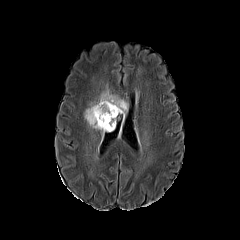
FLAIR magnetic resonance.
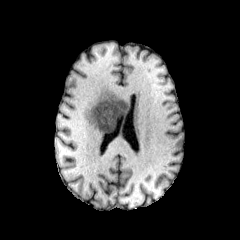
T1-weighted MR.
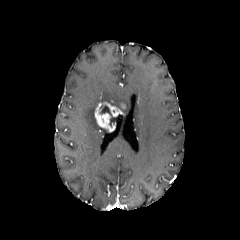
Post-contrast T1-weighted MR image.
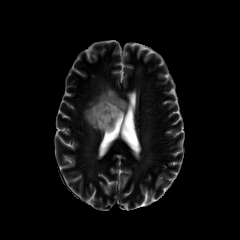
T2-weighted MR.
Head, Axial slice
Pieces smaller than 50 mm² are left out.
peritumoral_edema:
  - <box>84,88,128,134</box>
necrotic_tumor_core:
  - <box>100,105,116,126</box>
enhancing_tumor:
  - <box>94,102,123,131</box>